FLAIR MRI.
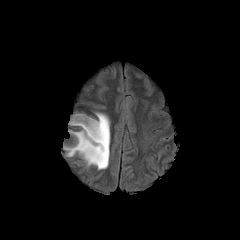
T1-weighted MR.
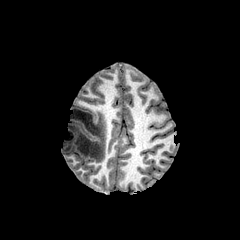
Post-contrast T1-weighted magnetic resonance.
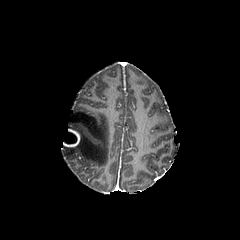
T2-weighted MR.
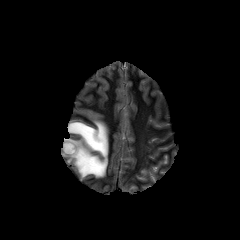
Brain
The enhancing tumor is bounded by box=[63, 129, 79, 146]. The peritumoral edema is bounded by box=[63, 113, 109, 172]. The necrotic tumor core lies within box=[63, 132, 76, 144].